FLAIR magnetic resonance.
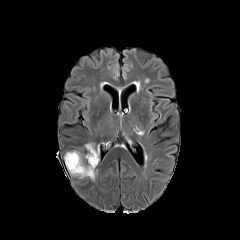
T1-weighted MR image.
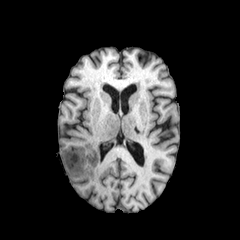
Post-contrast T1-weighted MR image.
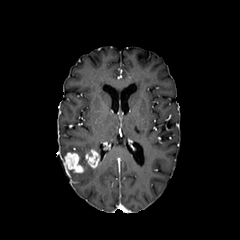
T2-weighted MRI.
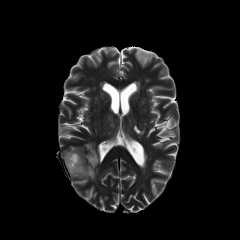
Head
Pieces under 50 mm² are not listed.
peritumoral edema at 85:143:93:151, 69:153:96:180
enhancing tumor at 85:149:99:168, 64:152:84:173